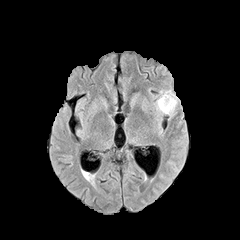
FLAIR MRI.
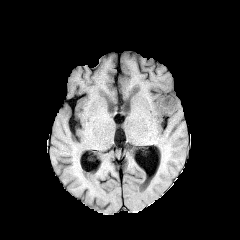
Same slice, T1-weighted MR.
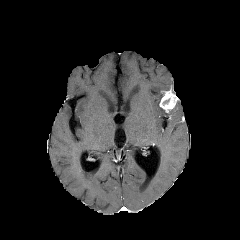
Same slice, post-contrast T1-weighted MR.
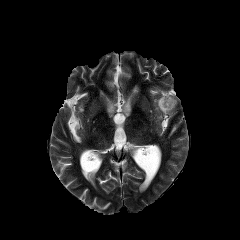
T2-weighted MR image.
Head
peritumoral edema = box(157, 93, 174, 114)
enhancing tumor = box(159, 88, 178, 112)